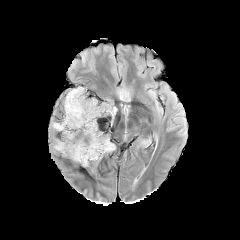
FLAIR magnetic resonance.
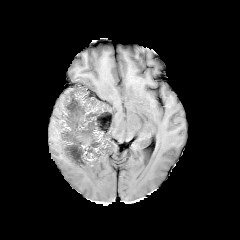
Same slice, T1-weighted MRI.
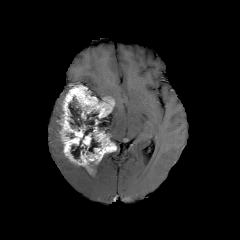
Post-contrast T1-weighted magnetic resonance of the same slice.
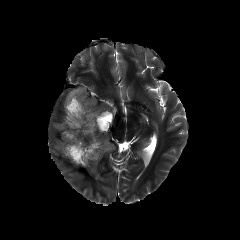
T2-weighted MRI.
240x240
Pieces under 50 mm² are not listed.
The 3 largest necrotic tumor core regions are bounded by [88,138,100,153], [71,140,83,159], [68,98,112,138]. The 2 largest peritumoral edema regions are bounded by [52,122,61,131], [54,140,64,156]. The largest enhancing tumor region is bounded by [59,85,116,173].